FLAIR MRI.
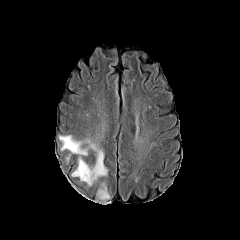
T1-weighted magnetic resonance.
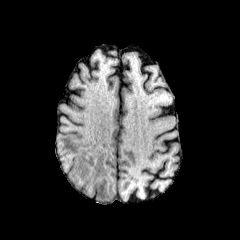
Post-contrast T1-weighted MR.
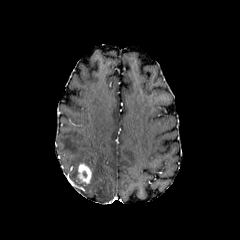
T2-weighted MR image.
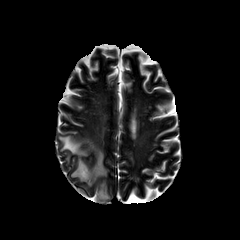
Brain
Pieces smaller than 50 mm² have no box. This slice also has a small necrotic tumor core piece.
peritumoral edema — rect(97, 182, 110, 201); rect(59, 135, 108, 186)
enhancing tumor — rect(78, 163, 91, 183)